FLAIR MR.
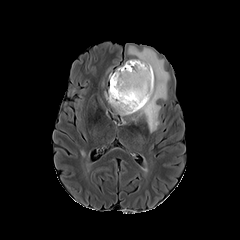
T1-weighted MR image.
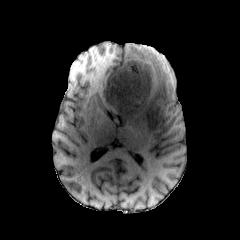
Post-contrast T1-weighted MR.
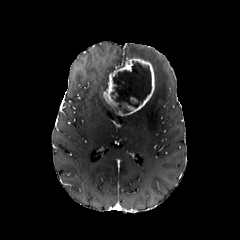
T2-weighted MR.
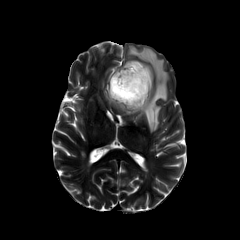
Axial plane | 240x240
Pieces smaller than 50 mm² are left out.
peritumoral edema: bounding box [128, 47, 168, 132]
necrotic tumor core: bounding box [111, 61, 151, 113]
enhancing tumor: bounding box [103, 58, 154, 115]